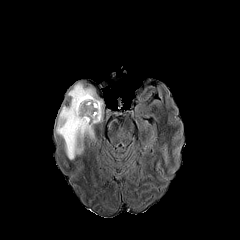
FLAIR MR image.
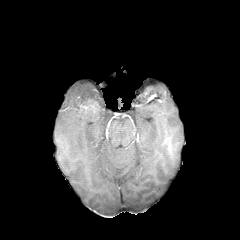
T1-weighted MR image.
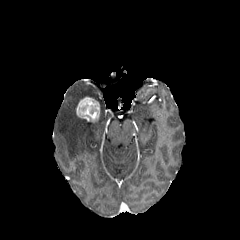
Post-contrast T1-weighted MRI.
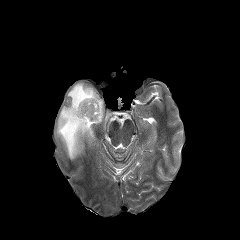
T2-weighted MR.
Brain
Findings:
• peritumoral edema: (left=56, top=82, right=103, bottom=159)
• enhancing tumor: (left=76, top=97, right=99, bottom=122)